Slice 110/155; Brain; Axial view
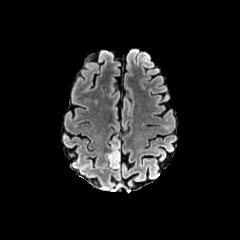
FLAIR magnetic resonance.
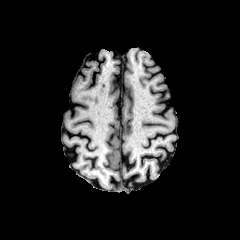
T1-weighted magnetic resonance of the same slice.
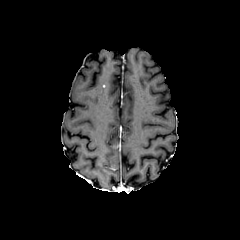
Same slice, post-contrast T1-weighted magnetic resonance.
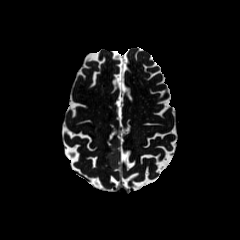
T2-weighted MR.
The peritumoral edema lies within [106,139,119,168].